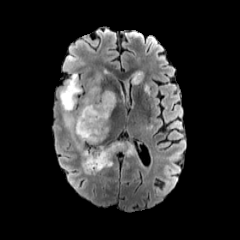
FLAIR magnetic resonance.
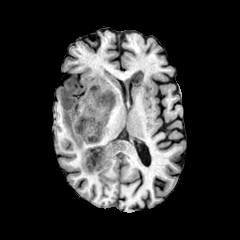
T1-weighted MRI.
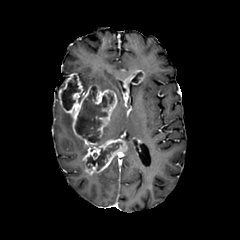
Post-contrast T1-weighted MR of the same slice.
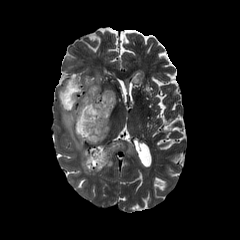
T2-weighted MRI of the same slice.
Axial view. Head. Image size 240x240.
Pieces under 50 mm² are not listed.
necrotic tumor core at {"x1": 86, "y1": 143, "x2": 122, "y2": 170}, {"x1": 75, "y1": 86, "x2": 113, "y2": 142}, {"x1": 61, "y1": 75, "x2": 79, "y2": 110}, {"x1": 133, "y1": 72, "x2": 142, "y2": 83}
enhancing tumor at {"x1": 58, "y1": 73, "x2": 126, "y2": 174}, {"x1": 131, "y1": 70, "x2": 144, "y2": 83}
peritumoral edema at {"x1": 89, "y1": 74, "x2": 101, "y2": 85}, {"x1": 119, "y1": 144, "x2": 135, "y2": 154}, {"x1": 142, "y1": 81, "x2": 149, "y2": 91}, {"x1": 98, "y1": 126, "x2": 108, "y2": 145}, {"x1": 63, "y1": 112, "x2": 87, "y2": 156}